Slice 73 of 155 | Head | 240x240 px | Axial plane
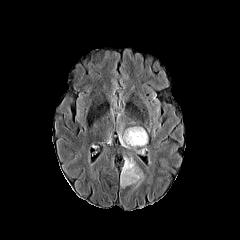
FLAIR magnetic resonance.
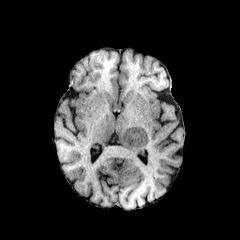
T1-weighted magnetic resonance.
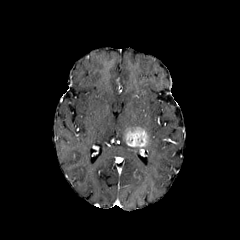
Post-contrast T1-weighted MR image.
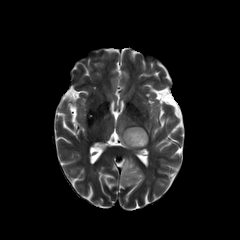
T2-weighted MR.
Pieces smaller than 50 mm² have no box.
peritumoral edema — x1=137 y1=146 x2=147 y2=154, x1=120 y1=155 x2=145 y2=190, x1=117 y1=131 x2=130 y2=148
enhancing tumor — x1=124 y1=127 x2=147 y2=147